Image size 240x240, Head, Axial plane, Slice 78/155, Image width 240 mm, 1.00 mm slice spacing
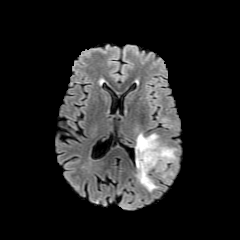
FLAIR MRI.
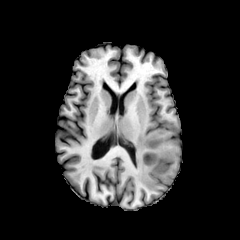
T1-weighted MR of the same slice.
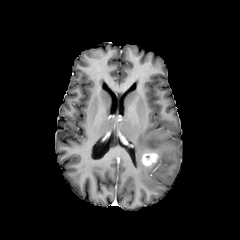
Post-contrast T1-weighted MRI.
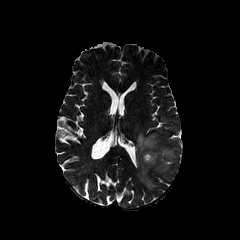
T2-weighted magnetic resonance.
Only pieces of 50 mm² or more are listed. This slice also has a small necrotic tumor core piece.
peritumoral edema: bbox=[136, 133, 176, 191]
enhancing tumor: bbox=[142, 152, 159, 166]